240x240 px. Brain.
FLAIR magnetic resonance.
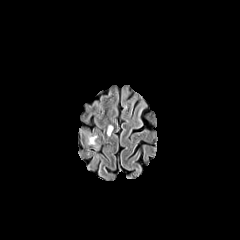
T1-weighted magnetic resonance.
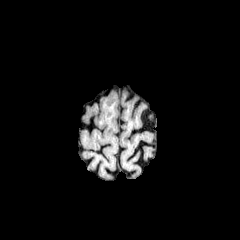
Post-contrast T1-weighted MR image.
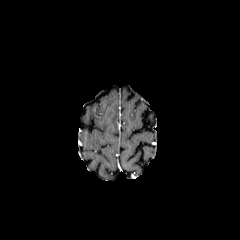
T2-weighted MRI.
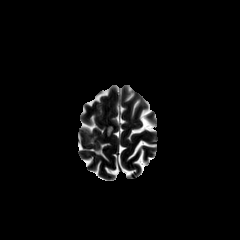
peritumoral edema = left=88, top=135, right=96, bottom=144; left=107, top=126, right=113, bottom=136